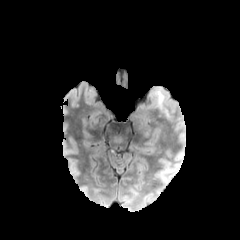
FLAIR MR image.
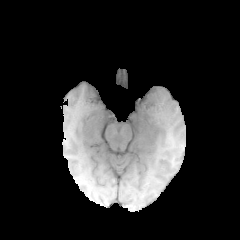
T1-weighted MR image of the same slice.
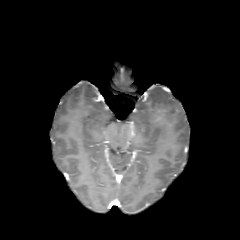
Same slice, post-contrast T1-weighted MR image.
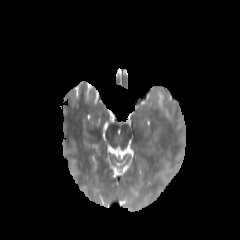
T2-weighted MR image.
Head
peritumoral edema at 155 88 171 114